FLAIR MR.
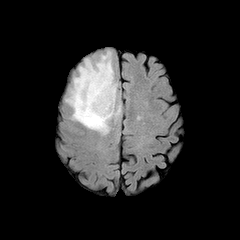
T1-weighted MRI.
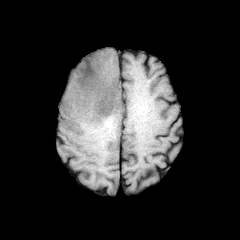
Post-contrast T1-weighted MR.
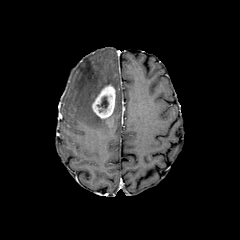
T2-weighted magnetic resonance.
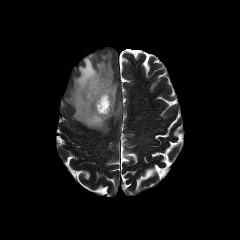
Axial plane, 240x240 px
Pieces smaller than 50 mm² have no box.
Annotated regions:
* necrotic tumor core: l=97, t=97, r=108, b=108
* peritumoral edema: l=66, t=51, r=120, b=133
* enhancing tumor: l=92, t=85, r=115, b=118